Brain
FLAIR MRI.
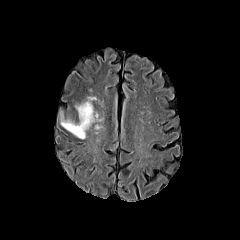
T1-weighted magnetic resonance.
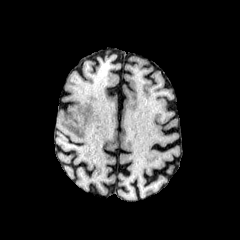
Post-contrast T1-weighted MR.
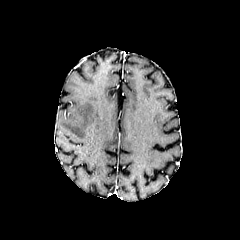
T2-weighted magnetic resonance.
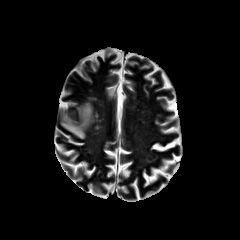
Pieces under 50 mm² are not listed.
- peritumoral edema: (x1=61, y1=97, x2=95, y2=139)